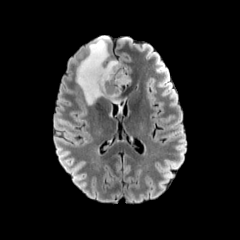
FLAIR MR.
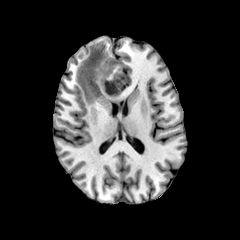
T1-weighted MRI.
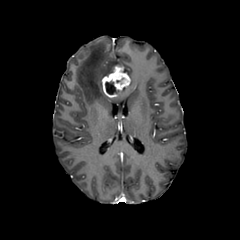
Post-contrast T1-weighted magnetic resonance.
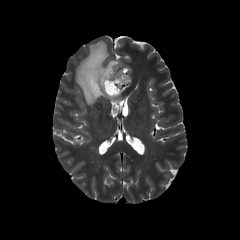
T2-weighted magnetic resonance.
Head; 240x240
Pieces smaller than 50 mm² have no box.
The enhancing tumor appears at <box>102,66,130,97</box>. The largest peritumoral edema region is bounded by <box>76,37,120,104</box>. The largest necrotic tumor core region is at <box>105,81,119,94</box>.